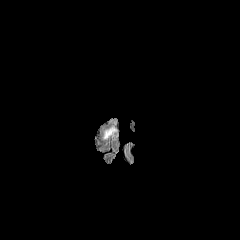
FLAIR MR image.
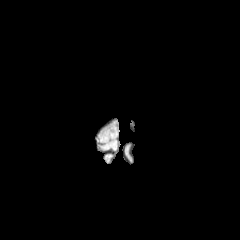
T1-weighted MR image.
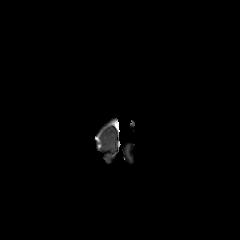
Post-contrast T1-weighted MRI of the same slice.
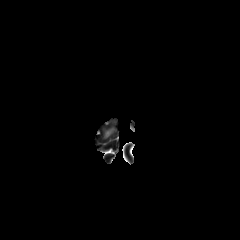
T2-weighted MR image.
Brain, Image size 240x240
Segmented structures:
• peritumoral edema: x1=104, y1=127, x2=115, y2=138